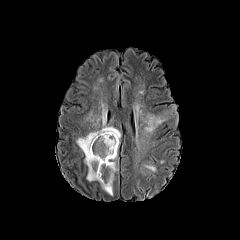
FLAIR magnetic resonance.
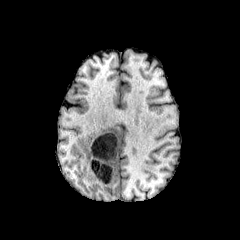
T1-weighted MR image.
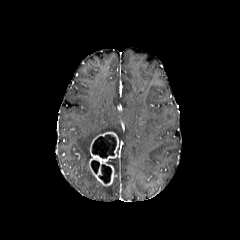
Same slice, post-contrast T1-weighted magnetic resonance.
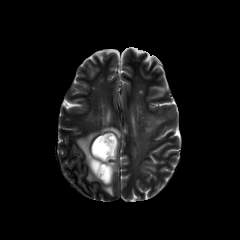
T2-weighted MR image of the same slice.
Axial slice. Image size 240x240. Head.
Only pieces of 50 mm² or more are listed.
* necrotic tumor core: box=[98, 164, 111, 183]; box=[91, 160, 99, 173]; box=[92, 134, 116, 158]
* peritumoral edema: box=[143, 113, 165, 133]; box=[145, 165, 156, 172]; box=[76, 105, 120, 181]; box=[101, 184, 113, 195]
* enhancing tumor: box=[89, 132, 118, 186]